FLAIR MR.
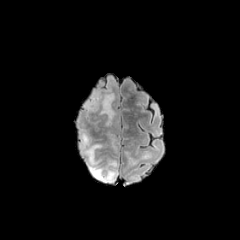
T1-weighted MR image.
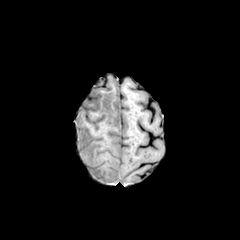
Post-contrast T1-weighted MR image.
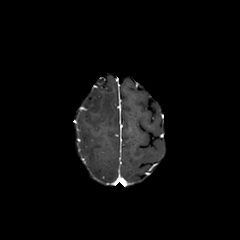
T2-weighted MR.
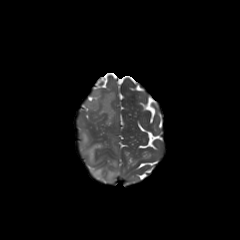
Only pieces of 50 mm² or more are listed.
Findings:
• peritumoral edema: region(100, 93, 114, 125); region(80, 129, 117, 182)